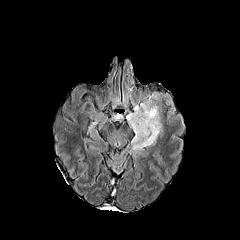
FLAIR MR image.
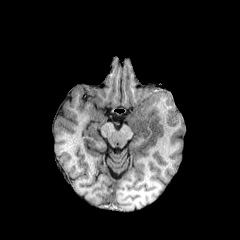
Same slice, T1-weighted MRI.
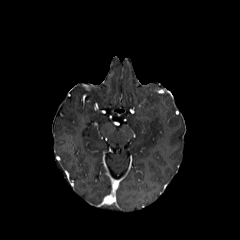
Post-contrast T1-weighted magnetic resonance.
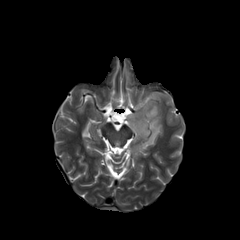
T2-weighted magnetic resonance of the same slice.
Axial slice; Brain; Image size 240x240
peritumoral_edema:
  - left=127, top=93, right=162, bottom=149